FLAIR MR image.
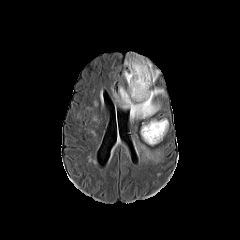
T1-weighted MR image.
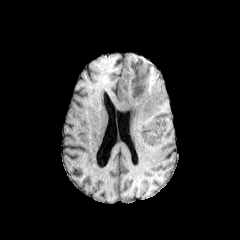
Post-contrast T1-weighted MRI.
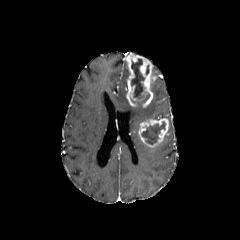
T2-weighted magnetic resonance.
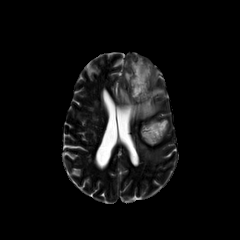
Axial plane | Brain
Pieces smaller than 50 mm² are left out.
necrotic_tumor_core:
  - 142, 122, 165, 144
  - 131, 58, 144, 98
enhancing_tumor:
  - 139, 118, 168, 146
  - 125, 54, 158, 107
peritumoral_edema:
  - 136, 142, 162, 161
  - 151, 80, 164, 97
  - 114, 86, 159, 121